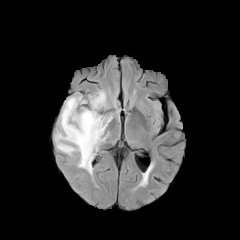
FLAIR MR.
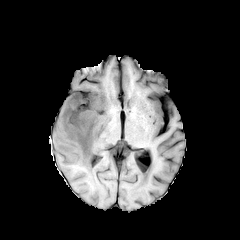
Same slice, T1-weighted MRI.
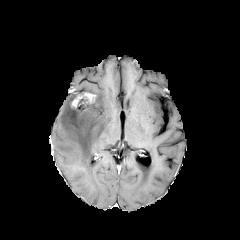
Post-contrast T1-weighted magnetic resonance.
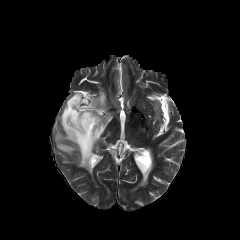
T2-weighted MR.
Image size 240x240; Axial view; Head
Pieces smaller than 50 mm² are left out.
The largest peritumoral edema region appears at {"x1": 54, "y1": 90, "x2": 112, "y2": 174}. The enhancing tumor is at {"x1": 71, "y1": 93, "x2": 95, "y2": 107}.